Slice 39 of 155. 240x240 px.
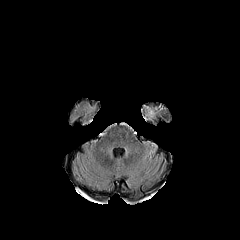
FLAIR MR.
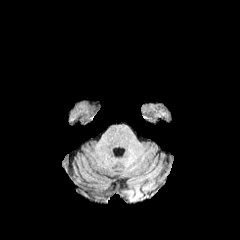
T1-weighted MR.
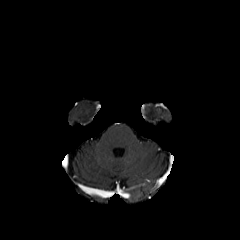
Post-contrast T1-weighted MRI.
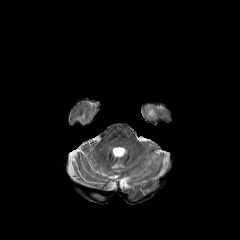
T2-weighted magnetic resonance.
peritumoral edema: bounding box (x1=148, y1=109, x2=154, y2=118)